FLAIR MR.
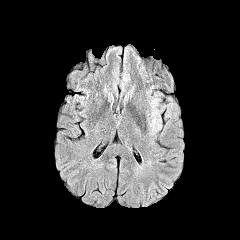
T1-weighted MR image.
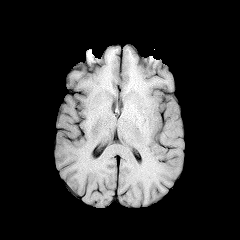
Post-contrast T1-weighted MR.
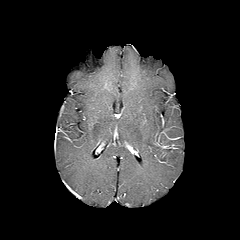
T2-weighted MRI.
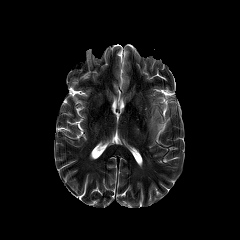
Head; 240x240; Axial slice
peritumoral edema: (149, 99, 161, 133)